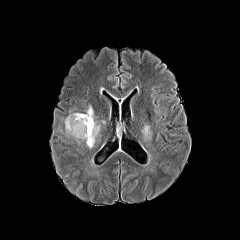
FLAIR MR image.
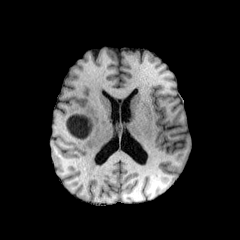
Same slice, T1-weighted MR image.
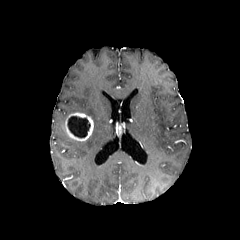
Post-contrast T1-weighted MR.
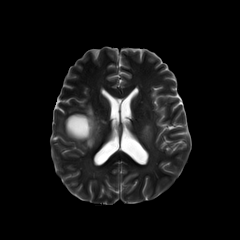
Same slice, T2-weighted MR.
Brain.
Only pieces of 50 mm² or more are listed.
{"necrotic_tumor_core": ["bbox=[67, 116, 90, 137]"], "enhancing_tumor": ["bbox=[65, 112, 93, 141]"], "peritumoral_edema": ["bbox=[85, 106, 100, 148]", "bbox=[142, 125, 151, 140]"]}